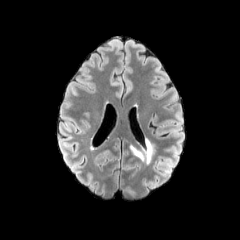
FLAIR MRI.
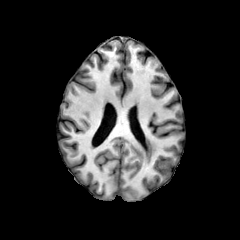
Same slice, T1-weighted MR.
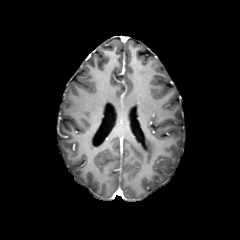
Post-contrast T1-weighted MR image.
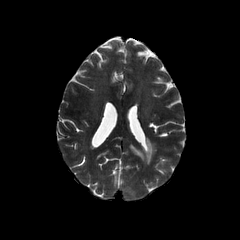
T2-weighted MRI.
Head.
peritumoral edema = <box>128,138,155,167</box>